FLAIR MRI.
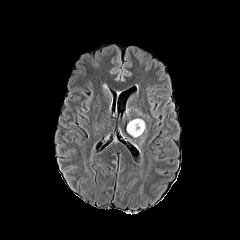
T1-weighted MR image.
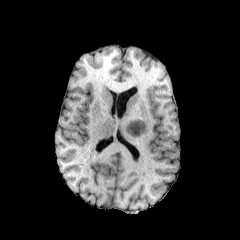
Post-contrast T1-weighted MR.
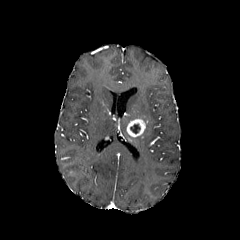
T2-weighted MRI.
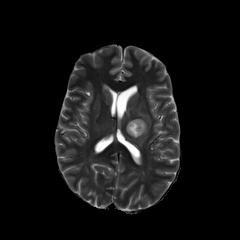
240x240, Axial view
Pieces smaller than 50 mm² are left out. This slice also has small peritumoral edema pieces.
necrotic tumor core: [130,124,140,133]
enhancing tumor: [126,119,145,137]